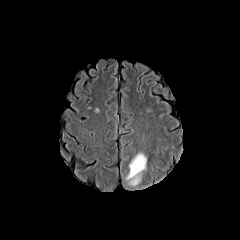
FLAIR MR image.
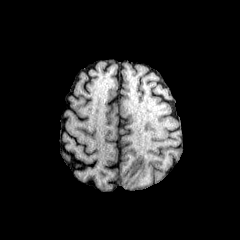
Same slice, T1-weighted MRI.
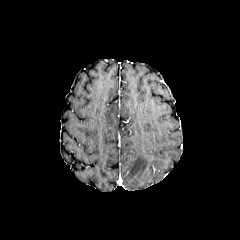
Post-contrast T1-weighted MR image.
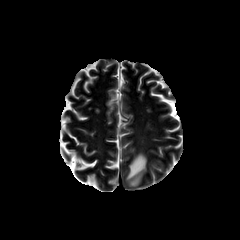
T2-weighted MRI of the same slice.
Brain.
Annotated regions:
- peritumoral edema: 125 153 146 186